FLAIR MR.
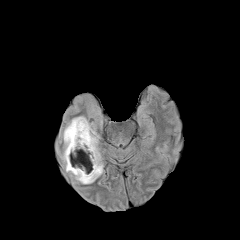
T1-weighted MR image.
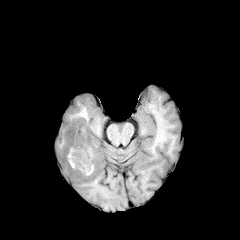
Post-contrast T1-weighted MRI.
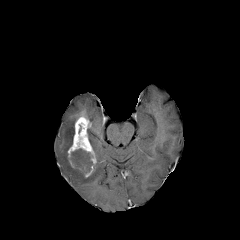
T2-weighted MR.
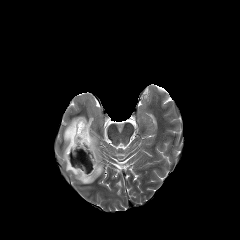
240x240.
enhancing_tumor:
  - box=[67, 116, 96, 177]
necrotic_tumor_core:
  - box=[71, 149, 92, 172]
peritumoral_edema:
  - box=[61, 117, 103, 183]